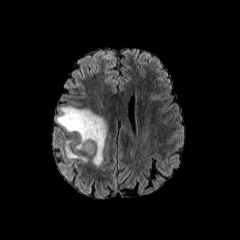
FLAIR MRI.
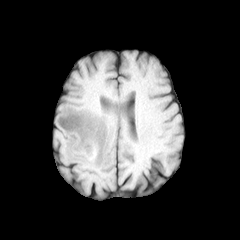
T1-weighted MR.
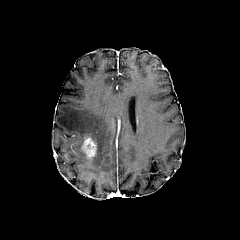
Post-contrast T1-weighted magnetic resonance.
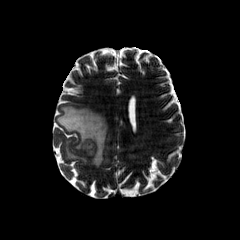
T2-weighted MR image.
Axial plane.
enhancing tumor at (x1=81, y1=135, x2=96, y2=157)
peritumoral edema at (x1=56, y1=106, x2=107, y2=166), (x1=65, y1=140, x2=88, y2=162)